Axial plane. Brain.
FLAIR MR.
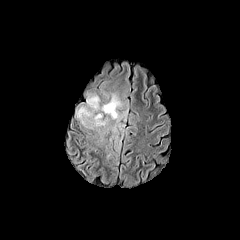
T1-weighted magnetic resonance.
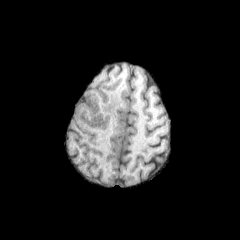
Post-contrast T1-weighted MR image.
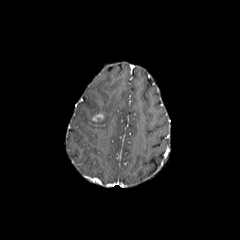
T2-weighted MRI.
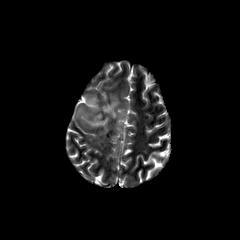
enhancing tumor: bounding box rect(91, 112, 103, 121)
peritumoral edema: bounding box rect(76, 94, 127, 132)